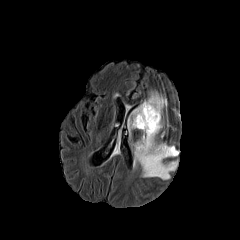
FLAIR MR.
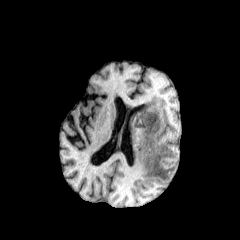
T1-weighted MR image.
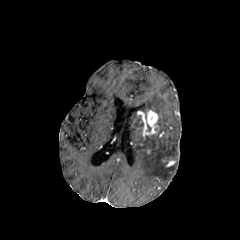
Same slice, post-contrast T1-weighted magnetic resonance.
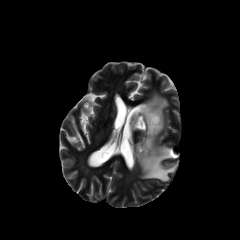
T2-weighted MRI.
Image size 240x240. Axial plane.
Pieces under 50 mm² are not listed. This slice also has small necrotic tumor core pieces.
enhancing_tumor:
  - <bbox>137, 110, 158, 137</bbox>
peritumoral_edema:
  - <bbox>133, 132, 178, 180</bbox>
  - <bbox>130, 92, 167, 132</bbox>